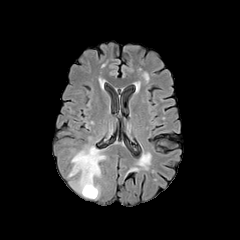
FLAIR MR.
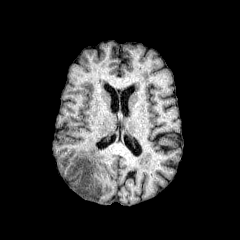
T1-weighted MR image.
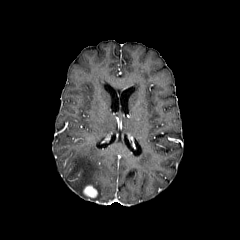
Post-contrast T1-weighted MR image.
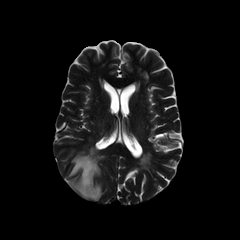
T2-weighted MR image.
Brain
The enhancing tumor is bounded by 83, 185, 97, 197. The peritumoral edema lies within 68, 146, 105, 198.